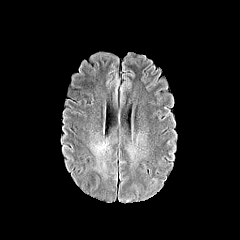
FLAIR magnetic resonance.
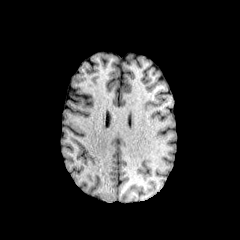
Same slice, T1-weighted MR image.
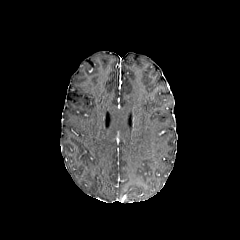
Post-contrast T1-weighted MR image.
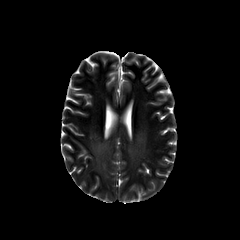
T2-weighted MR.
Head | Axial view
The peritumoral edema appears at 88,131,148,181.